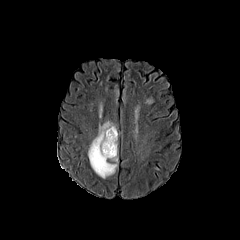
FLAIR MR image.
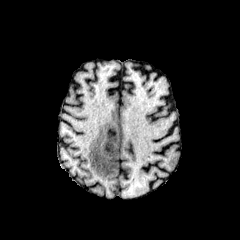
Same slice, T1-weighted MRI.
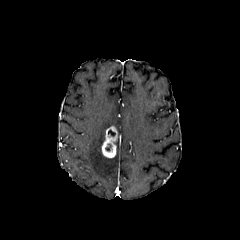
Post-contrast T1-weighted magnetic resonance.
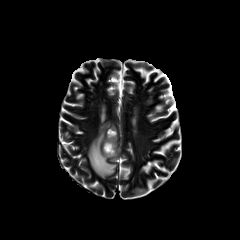
T2-weighted MRI.
Brain, 240x240 px, Axial view
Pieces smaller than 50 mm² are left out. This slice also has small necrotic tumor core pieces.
{"enhancing_tumor": ["x1=101 y1=126 x2=117 y2=158"], "peritumoral_edema": ["x1=88 y1=120 x2=118 y2=178"]}